FLAIR MR image.
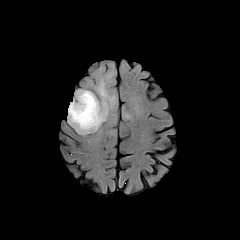
T1-weighted MRI.
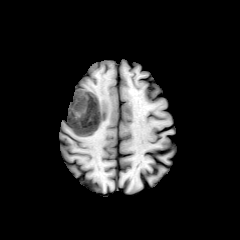
Post-contrast T1-weighted magnetic resonance.
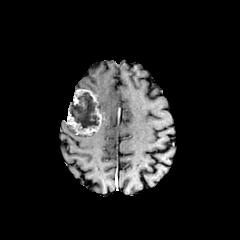
T2-weighted magnetic resonance.
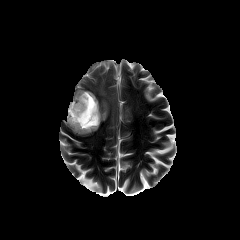
240x240 px. Brain.
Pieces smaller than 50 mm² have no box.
The largest enhancing tumor region is at region(67, 89, 102, 134). The necrotic tumor core lies within region(69, 92, 98, 129). The 2 largest peritumoral edema regions appear at region(124, 111, 131, 119); region(95, 78, 115, 122).